Brain. Image covers 240 mm x 240 mm. Slice 84/155.
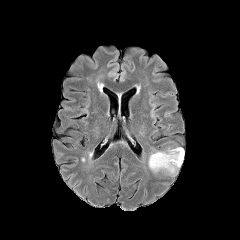
FLAIR MR image.
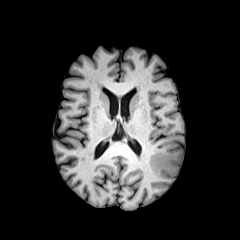
T1-weighted MR image.
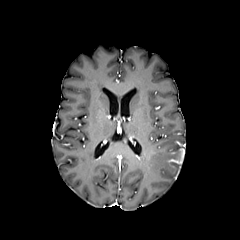
Post-contrast T1-weighted MR of the same slice.
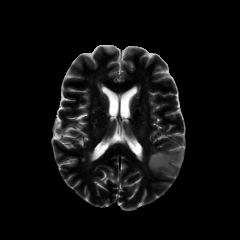
T2-weighted MRI.
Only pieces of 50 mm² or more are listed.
enhancing_tumor:
  - rect(169, 148, 184, 164)
peritumoral_edema:
  - rect(148, 147, 180, 176)